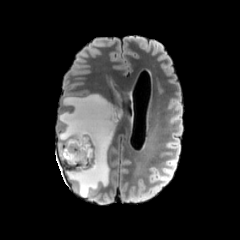
FLAIR MR.
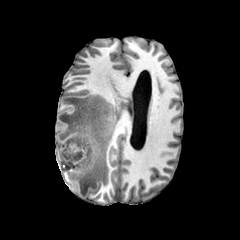
Same slice, T1-weighted MR image.
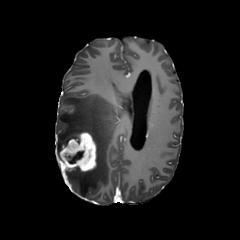
Post-contrast T1-weighted magnetic resonance of the same slice.
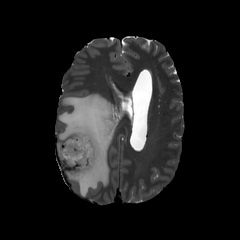
Same slice, T2-weighted MRI.
Axial plane
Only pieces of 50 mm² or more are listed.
peritumoral edema = (57,94,119,197)
necrotic tumor core = (65,151,83,163)
enhancing tumor = (59,131,96,172)